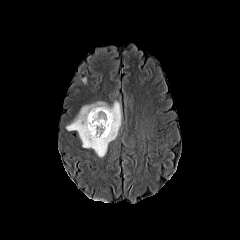
FLAIR MR image.
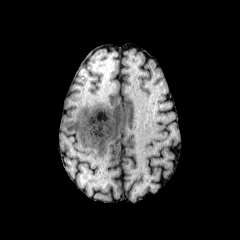
T1-weighted MR.
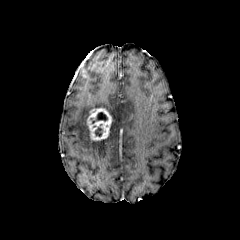
Same slice, post-contrast T1-weighted MR image.
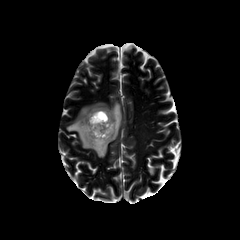
T2-weighted magnetic resonance.
Head.
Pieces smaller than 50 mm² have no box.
The largest necrotic tumor core region lies within bbox(92, 112, 107, 123). The peritumoral edema lies within bbox(66, 101, 122, 157). The enhancing tumor is located at bbox(87, 108, 112, 141).